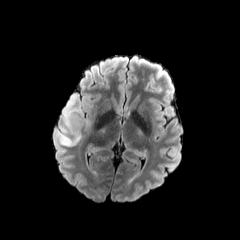
FLAIR magnetic resonance.
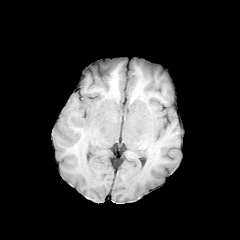
T1-weighted MR.
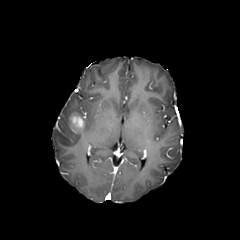
Post-contrast T1-weighted MRI.
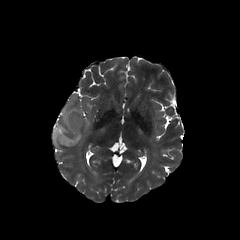
T2-weighted MRI.
Brain
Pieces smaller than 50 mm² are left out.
Findings:
• enhancing tumor: 69:112:84:132
• peritumoral edema: 60:101:80:146